Slice index 50 | Image width 240 mm, 1.00 mm slice spacing | Head | Axial view | Image size 240x240
FLAIR MR image.
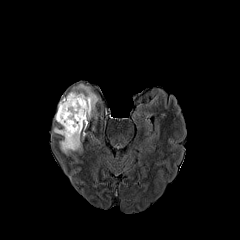
T1-weighted MR.
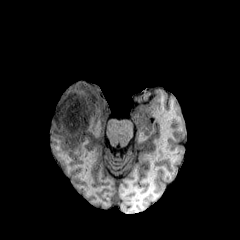
Post-contrast T1-weighted MRI.
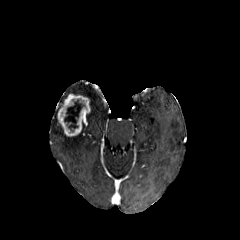
T2-weighted MR.
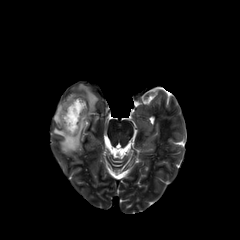
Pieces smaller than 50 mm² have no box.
enhancing tumor: bounding box x1=57, y1=93, x2=90, y2=136
necrotic tumor core: bounding box x1=64, y1=99, x2=84, y2=129
peritumoral edema: bounding box x1=53, y1=127, x2=84, y2=155; x1=70, y1=84, x2=98, y2=119